FLAIR magnetic resonance.
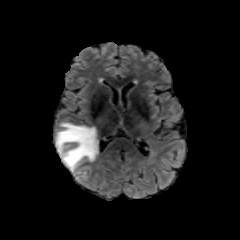
T1-weighted MRI.
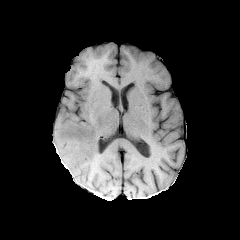
Post-contrast T1-weighted MR.
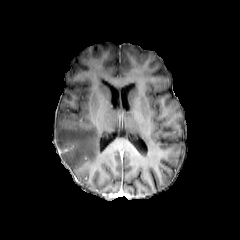
T2-weighted MR.
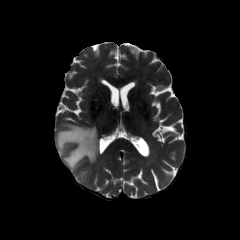
Head
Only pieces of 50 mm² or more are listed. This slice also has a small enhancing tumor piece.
peritumoral edema: x1=55 y1=122 x2=98 y2=181